Image covers 240 mm x 240 mm
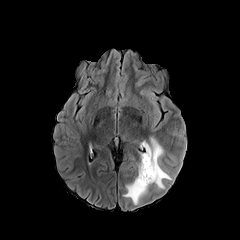
FLAIR MR image.
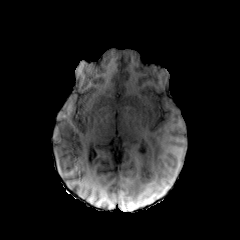
Same slice, T1-weighted MR image.
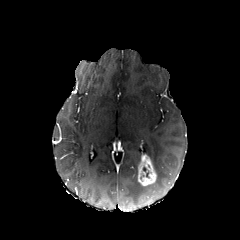
Post-contrast T1-weighted MR of the same slice.
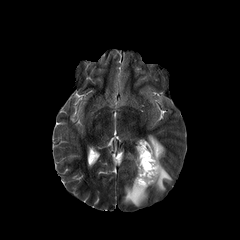
T2-weighted MR image.
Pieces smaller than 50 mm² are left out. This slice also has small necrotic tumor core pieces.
The 2 largest peritumoral edema regions are bounded by (left=141, top=136, right=172, bottom=189), (left=122, top=176, right=150, bottom=205). The enhancing tumor is at (left=137, top=154, right=156, bottom=185).